Head | Slice 100 of 155
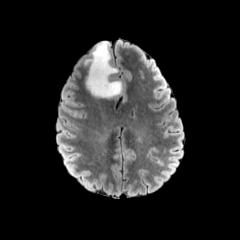
FLAIR MRI.
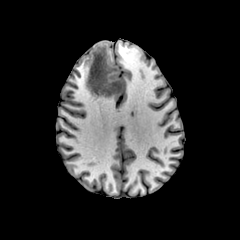
T1-weighted MR image.
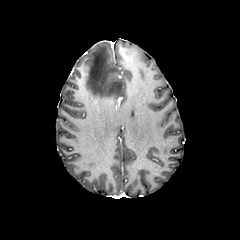
Post-contrast T1-weighted MR of the same slice.
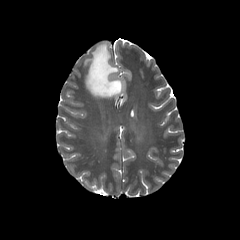
T2-weighted magnetic resonance of the same slice.
Segmented structures:
* peritumoral edema: region(85, 42, 122, 98)